Slice index 34, Head
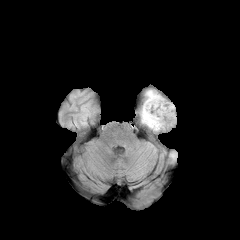
FLAIR magnetic resonance.
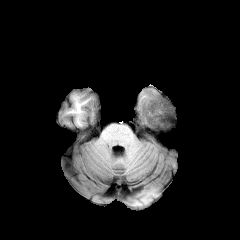
T1-weighted MR of the same slice.
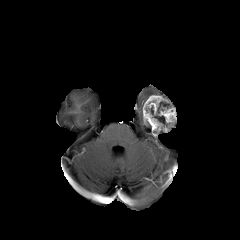
Post-contrast T1-weighted MR.
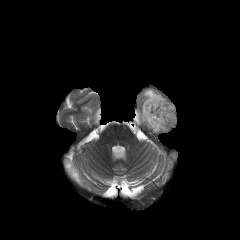
T2-weighted magnetic resonance.
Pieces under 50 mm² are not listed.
<segmentation>
  <necrotic_tumor_core>(left=154, top=116, right=165, bottom=124)</necrotic_tumor_core>
  <peritumoral_edema>(left=145, top=90, right=159, bottom=99)</peritumoral_edema>
  <enhancing_tumor>(left=142, top=95, right=176, bottom=134)</enhancing_tumor>
</segmentation>